Axial slice | Slice 99/155 | 240x240 px
FLAIR MRI.
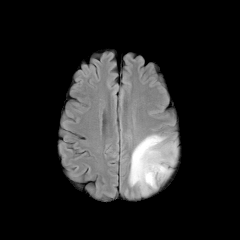
T1-weighted MR image.
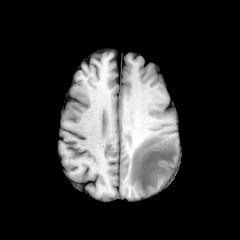
Post-contrast T1-weighted MRI.
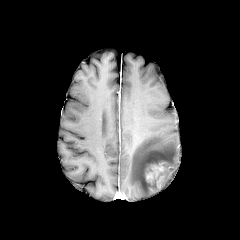
T2-weighted MRI.
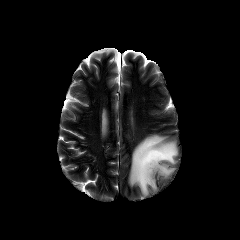
* enhancing tumor: box=[146, 165, 164, 182]
* peritumoral edema: box=[129, 134, 177, 195]